FLAIR MRI.
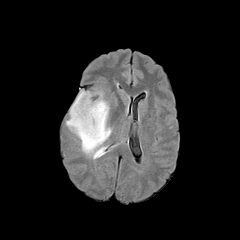
T1-weighted MR image.
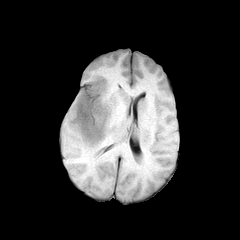
Post-contrast T1-weighted MR.
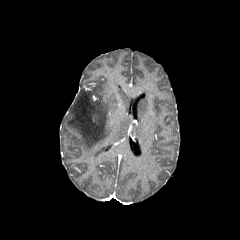
T2-weighted MRI.
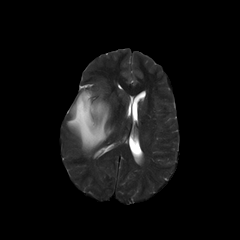
240x240 px; Axial plane
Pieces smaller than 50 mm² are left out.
The largest peritumoral edema region appears at x1=66 y1=91 x2=111 y2=155.